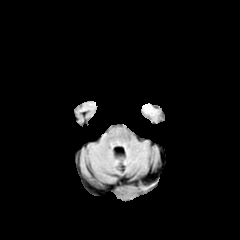
FLAIR magnetic resonance.
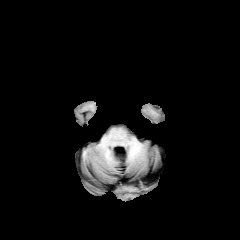
T1-weighted MR image.
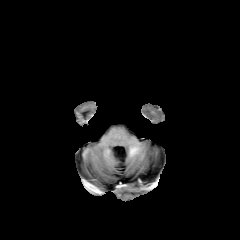
Post-contrast T1-weighted MRI.
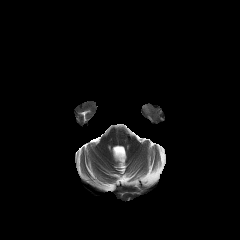
T2-weighted MRI.
peritumoral edema at (142,104,151,113)